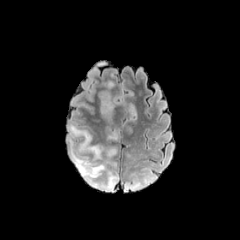
FLAIR magnetic resonance.
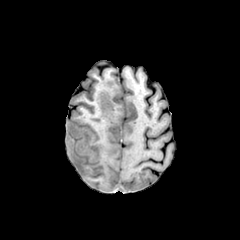
T1-weighted MR image of the same slice.
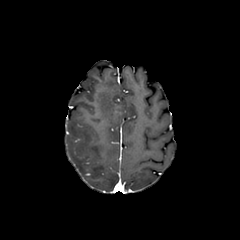
Same slice, post-contrast T1-weighted MRI.
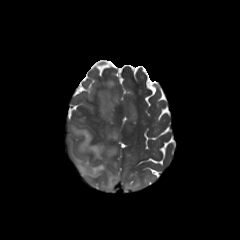
T2-weighted magnetic resonance.
Brain
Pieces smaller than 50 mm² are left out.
peritumoral edema at <box>108,132,118,139</box>, <box>68,123,118,191</box>, <box>101,93,113,117</box>, <box>124,178,152,190</box>